FLAIR magnetic resonance.
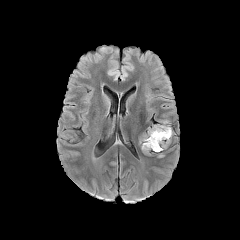
T1-weighted magnetic resonance.
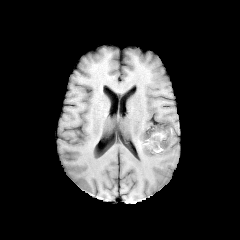
Post-contrast T1-weighted MR image.
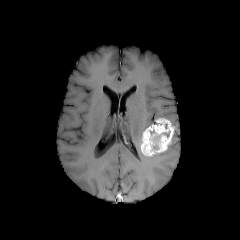
T2-weighted MR image.
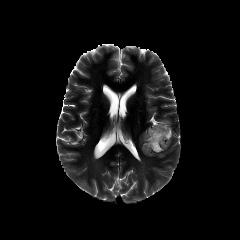
240x240
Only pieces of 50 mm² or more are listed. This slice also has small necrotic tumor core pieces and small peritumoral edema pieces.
The enhancing tumor appears at <box>141,118,173,155</box>.